Image covers 240 mm x 240 mm
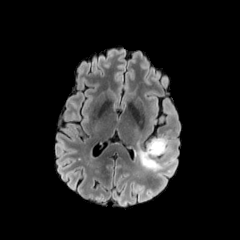
FLAIR MRI.
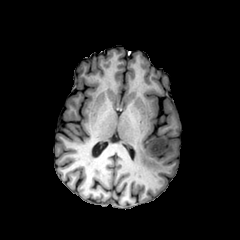
T1-weighted MR image.
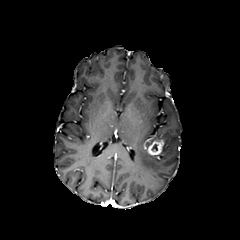
Post-contrast T1-weighted MR.
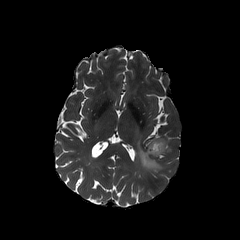
T2-weighted magnetic resonance.
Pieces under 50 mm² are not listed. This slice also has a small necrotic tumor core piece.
enhancing tumor — 147, 139, 164, 155
peritumoral edema — 135, 137, 168, 171